Slice 70/155
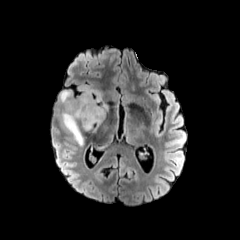
FLAIR MR image.
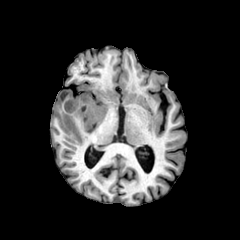
T1-weighted MR.
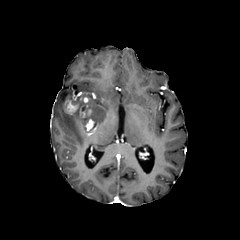
Same slice, post-contrast T1-weighted MR.
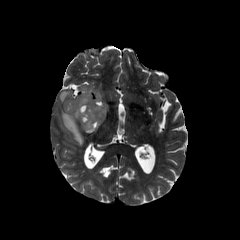
T2-weighted MRI.
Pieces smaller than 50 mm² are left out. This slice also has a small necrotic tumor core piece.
peritumoral edema: <box>61,106,86,145</box>, <box>81,86,107,127</box>, <box>59,90,75,104</box>
enhancing tumor: <box>64,97,93,130</box>